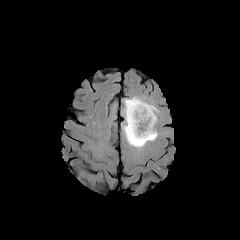
FLAIR MRI.
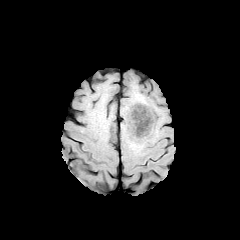
Same slice, T1-weighted MR.
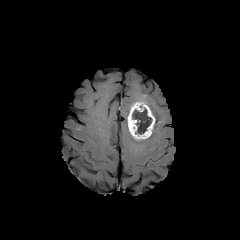
Post-contrast T1-weighted magnetic resonance.
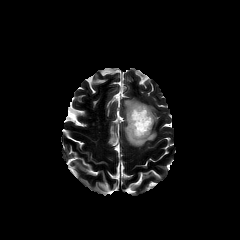
T2-weighted MR image.
Axial plane, Brain
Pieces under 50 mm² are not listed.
enhancing tumor: left=127, top=101, right=155, bottom=140
necrotic tumor core: left=136, top=121, right=147, bottom=133
peritumoral edema: left=122, top=97, right=158, bottom=148